FLAIR MR.
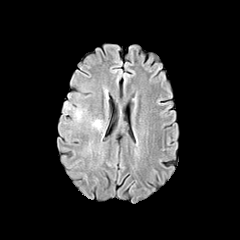
T1-weighted MR.
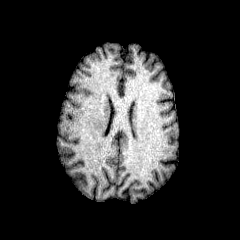
Post-contrast T1-weighted MR image.
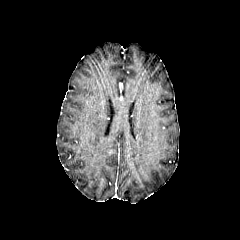
T2-weighted MR.
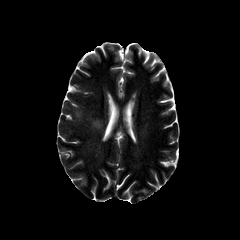
Axial plane | 240x240 px
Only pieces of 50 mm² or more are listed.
The 2 largest peritumoral edema regions are located at box=[92, 119, 103, 129]; box=[73, 108, 83, 122].